Head.
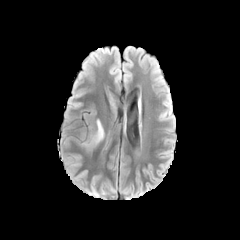
FLAIR MR.
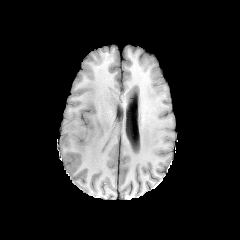
T1-weighted MRI.
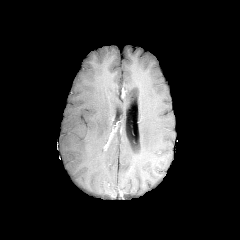
Post-contrast T1-weighted magnetic resonance.
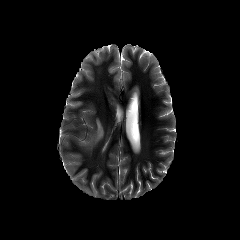
T2-weighted magnetic resonance.
peritumoral edema: <box>83,120,104,147</box>